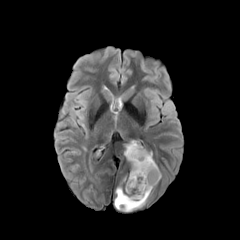
FLAIR MR image.
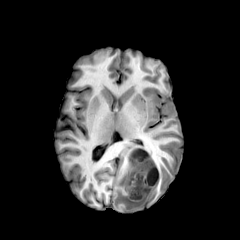
T1-weighted MR.
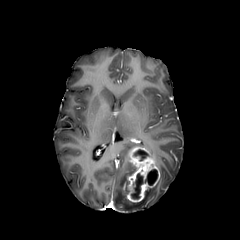
Post-contrast T1-weighted MR image.
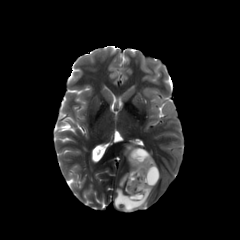
Same slice, T2-weighted magnetic resonance.
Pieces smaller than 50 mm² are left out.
necrotic tumor core: <bbox>145, 169, 157, 185</bbox>, <bbox>134, 149, 148, 160</bbox>, <bbox>131, 173, 143, 198</bbox> | peritumoral edema: <bbox>114, 187, 151, 211</bbox>, <bbox>124, 142, 139, 158</bbox> | enhancing tumor: <bbox>126, 147, 159, 202</bbox>